FLAIR magnetic resonance.
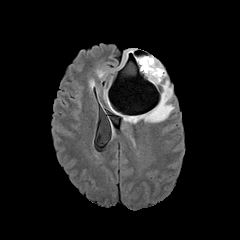
T1-weighted MRI.
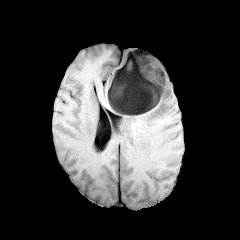
Post-contrast T1-weighted MR image.
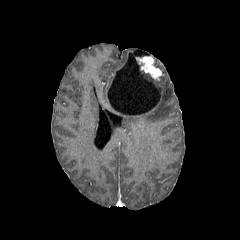
T2-weighted MRI.
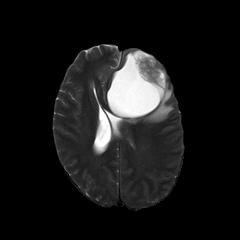
Head
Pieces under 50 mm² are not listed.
Annotated regions:
* enhancing tumor: rect(109, 102, 160, 116); rect(118, 51, 129, 68); rect(138, 56, 162, 80)
* peritumoral edema: rect(128, 65, 173, 122)
* necrotic tumor core: rect(107, 50, 161, 114)